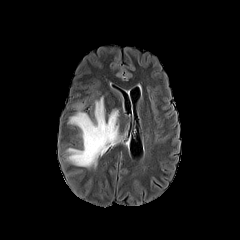
FLAIR MRI.
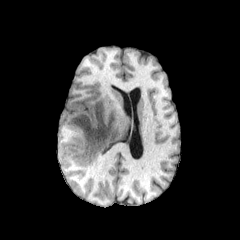
T1-weighted MR.
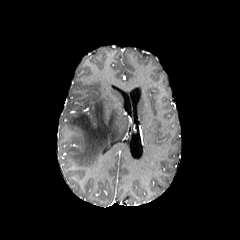
Post-contrast T1-weighted magnetic resonance of the same slice.
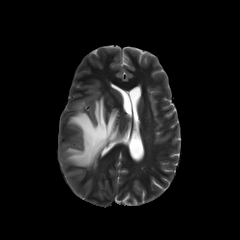
Same slice, T2-weighted MRI.
Brain. 240x240.
• peritumoral edema: [67,97,129,167]